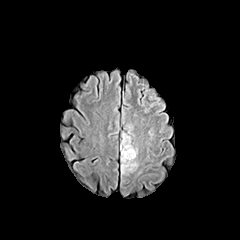
FLAIR magnetic resonance.
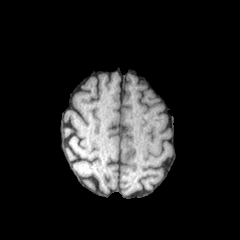
T1-weighted magnetic resonance.
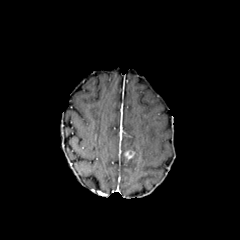
Post-contrast T1-weighted magnetic resonance of the same slice.
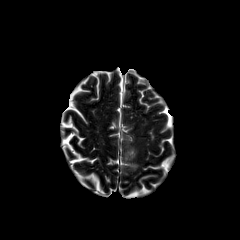
T2-weighted MR image.
Axial view; Head
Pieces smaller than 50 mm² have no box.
• peritumoral edema: l=121, t=133, r=137, b=174
• enhancing tumor: l=124, t=150, r=134, b=159